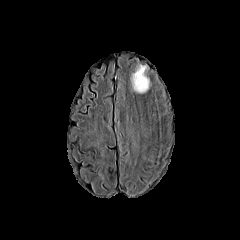
FLAIR magnetic resonance.
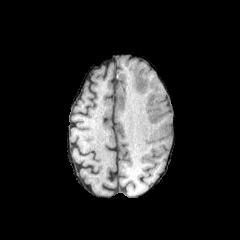
T1-weighted MR.
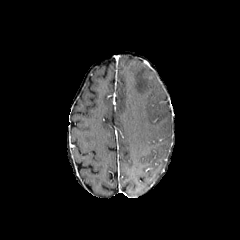
Post-contrast T1-weighted MR image of the same slice.
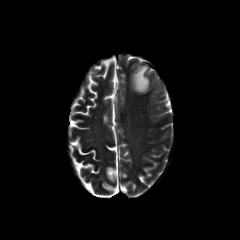
T2-weighted MR image of the same slice.
The peritumoral edema appears at bbox(132, 65, 149, 92).